FLAIR MR.
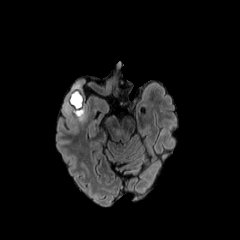
T1-weighted magnetic resonance.
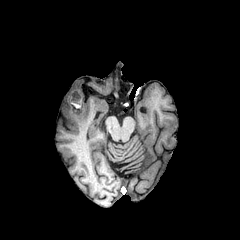
Post-contrast T1-weighted MR.
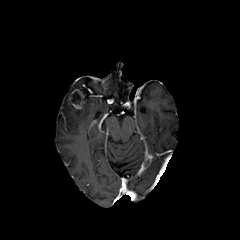
T2-weighted MR.
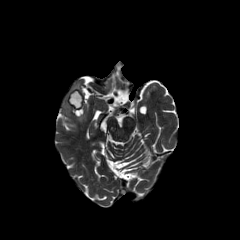
Head. 240x240.
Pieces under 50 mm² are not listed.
enhancing tumor: (x1=69, y1=89, x2=83, y2=109) | necrotic tumor core: (x1=71, y1=91, x2=80, y2=104) | peritumoral edema: (x1=64, y1=102, x2=85, y2=121)